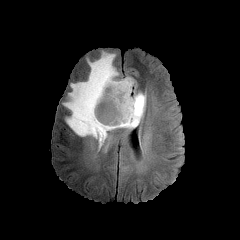
FLAIR MR.
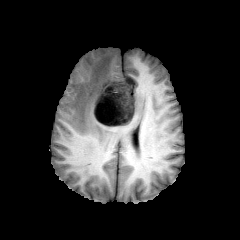
T1-weighted MR image.
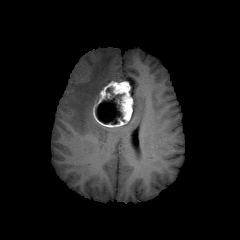
Post-contrast T1-weighted magnetic resonance.
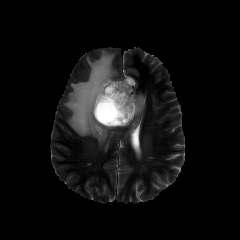
Same slice, T2-weighted MRI.
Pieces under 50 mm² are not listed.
Segmented structures:
* enhancing tumor: <box>93,80,133,127</box>
* peritumoral edema: <box>63,51,145,150</box>
* necrotic tumor core: <box>95,94,122,124</box>